FLAIR MRI.
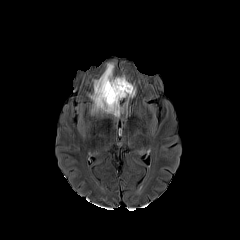
T1-weighted MR.
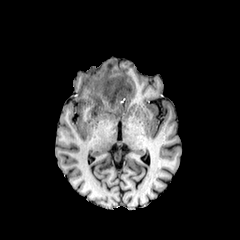
Post-contrast T1-weighted MR image.
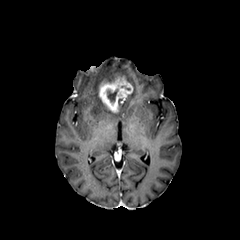
T2-weighted magnetic resonance.
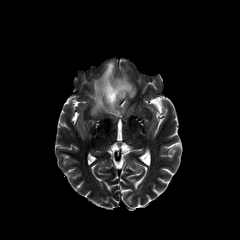
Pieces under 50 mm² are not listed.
enhancing_tumor:
  - bbox=[98, 76, 133, 112]
peritumoral_edema:
  - bbox=[89, 63, 121, 116]
necrotic_tumor_core:
  - bbox=[108, 91, 116, 101]